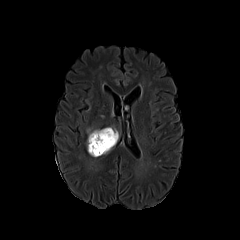
FLAIR MR.
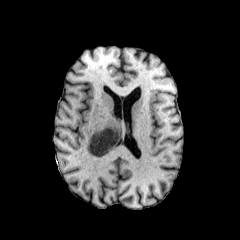
Same slice, T1-weighted MRI.
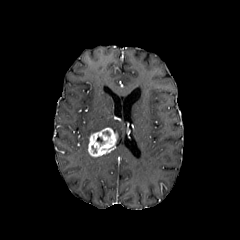
Post-contrast T1-weighted MRI.
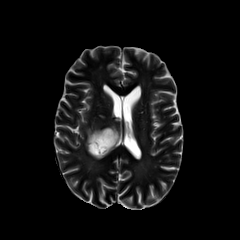
T2-weighted MRI.
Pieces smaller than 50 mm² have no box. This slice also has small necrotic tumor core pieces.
The enhancing tumor lies within left=88, top=127, right=117, bottom=156. The largest peritumoral edema region lies within left=86, top=128, right=100, bottom=150.